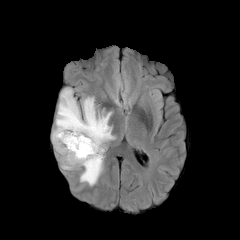
FLAIR magnetic resonance.
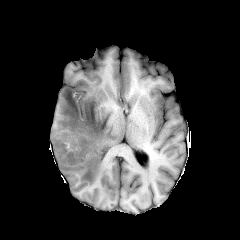
T1-weighted MR image.
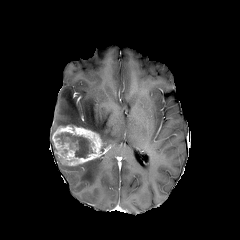
Post-contrast T1-weighted magnetic resonance.
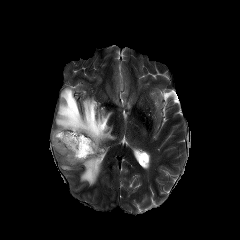
Same slice, T2-weighted MR image.
Axial view
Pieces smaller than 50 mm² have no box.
peritumoral edema = x1=61 y1=158 x2=102 y2=185, x1=55 y1=87 x2=115 y2=150
necrotic tumor core = x1=58 y1=132 x2=90 y2=157
enhancing tumor = x1=52 y1=125 x2=102 y2=165